Axial plane | Image width 240 mm
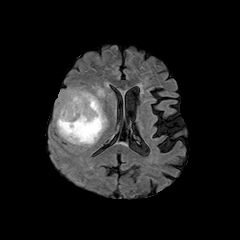
FLAIR MR image.
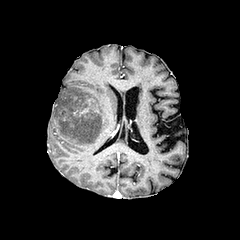
T1-weighted magnetic resonance of the same slice.
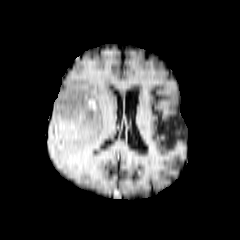
Post-contrast T1-weighted magnetic resonance.
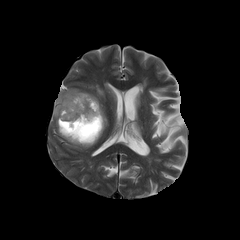
T2-weighted MRI.
{"necrotic_tumor_core": ["<bbox>59, 110, 100, 140</bbox>"], "peritumoral_edema": ["<bbox>54, 85, 107, 146</bbox>"], "enhancing_tumor": ["<bbox>88, 97, 95, 109</bbox>"]}